Head, Slice index 41
FLAIR MRI.
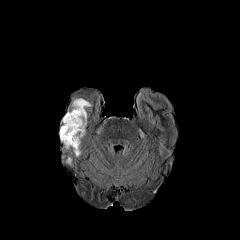
T1-weighted magnetic resonance.
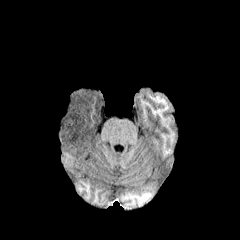
Post-contrast T1-weighted MR image.
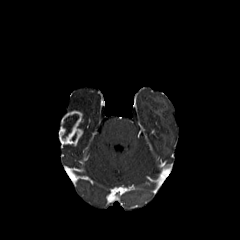
T2-weighted magnetic resonance.
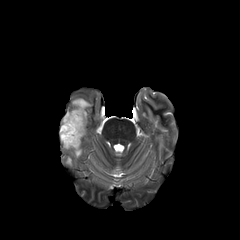
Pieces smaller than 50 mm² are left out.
necrotic_tumor_core:
  - 62, 114, 78, 138
peritumoral_edema:
  - 64, 139, 81, 156
  - 71, 98, 91, 136
enhancing_tumor:
  - 59, 110, 83, 146